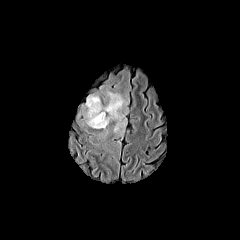
FLAIR MRI.
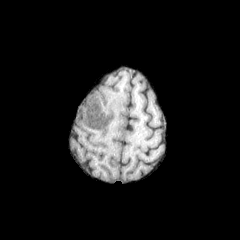
T1-weighted MR.
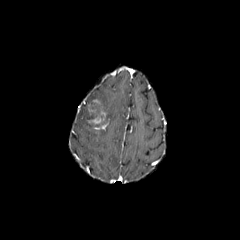
Post-contrast T1-weighted MRI.
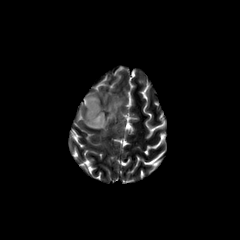
T2-weighted MRI.
Brain; 240x240
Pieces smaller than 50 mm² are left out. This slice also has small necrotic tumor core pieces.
enhancing tumor — bbox(87, 104, 108, 129)
peritumoral edema — bbox(78, 91, 127, 132)